FLAIR magnetic resonance.
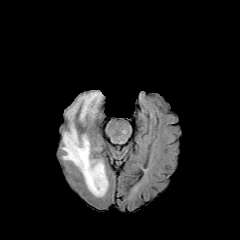
T1-weighted magnetic resonance.
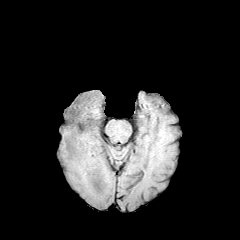
Post-contrast T1-weighted MRI.
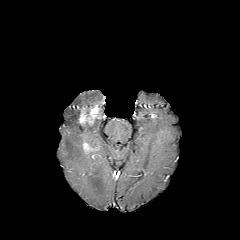
T2-weighted MRI.
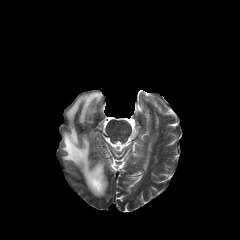
Brain. Axial view.
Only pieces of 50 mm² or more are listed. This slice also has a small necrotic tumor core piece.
enhancing tumor — bbox(83, 142, 90, 152); bbox(79, 105, 98, 124)
peritumoral edema — bbox(62, 91, 108, 196)